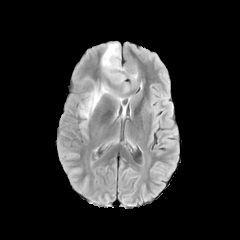
FLAIR MR.
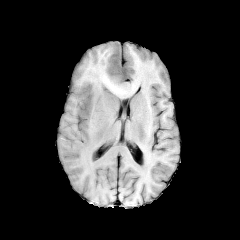
T1-weighted MRI.
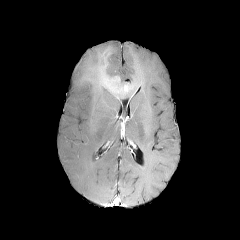
Post-contrast T1-weighted MRI.
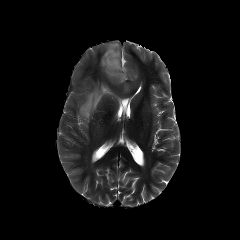
T2-weighted MR image.
Head
<segmentation>
  <peritumoral_edema>79,42,138,138</peritumoral_edema>
  <enhancing_tumor>111,76,120,82</enhancing_tumor>
</segmentation>